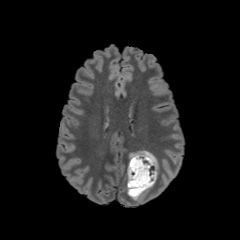
FLAIR MR image.
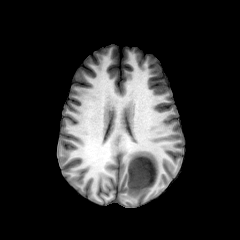
T1-weighted magnetic resonance.
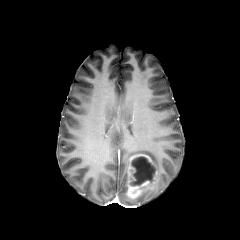
Post-contrast T1-weighted MRI.
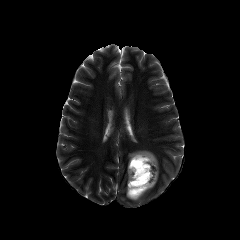
T2-weighted MR image of the same slice.
240x240, Brain
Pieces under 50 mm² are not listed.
The enhancing tumor is located at <bbox>127, 154, 157, 198</bbox>. The necrotic tumor core is bounded by <bbox>130, 156, 156, 185</bbox>. The largest peritumoral edema region lies within <bbox>129, 150, 158, 174</bbox>.